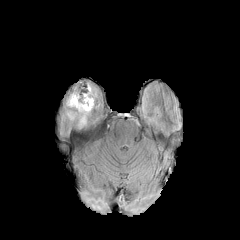
FLAIR MRI.
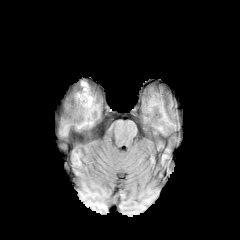
T1-weighted MR image of the same slice.
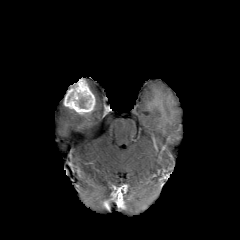
Post-contrast T1-weighted magnetic resonance of the same slice.
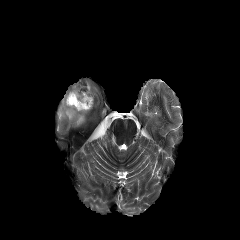
T2-weighted MRI.
Axial plane, 240x240, Head
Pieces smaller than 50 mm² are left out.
Findings:
• peritumoral edema: <box>63,107,88,125</box>
• necrotic tumor core: <box>79,97,87,108</box>
• enhancing tumor: <box>64,80,95,114</box>